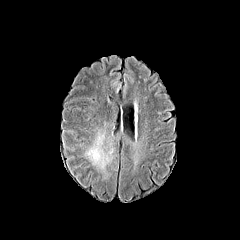
FLAIR MRI.
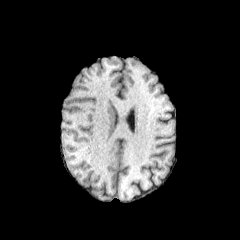
Same slice, T1-weighted MRI.
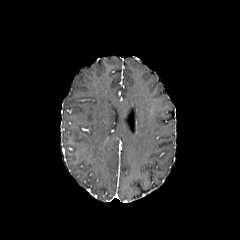
Same slice, post-contrast T1-weighted MRI.
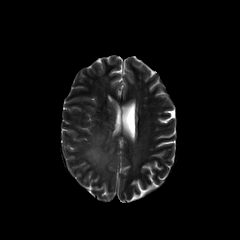
T2-weighted MR image.
Brain
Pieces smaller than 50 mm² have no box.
• peritumoral edema: rect(85, 132, 113, 170)